Brain. Axial plane.
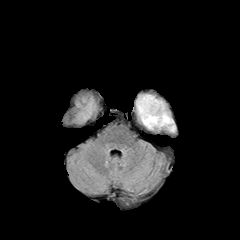
FLAIR MR.
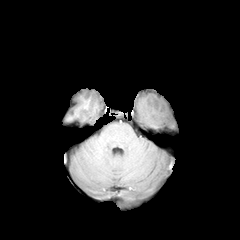
Same slice, T1-weighted magnetic resonance.
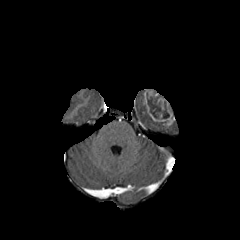
Post-contrast T1-weighted magnetic resonance of the same slice.
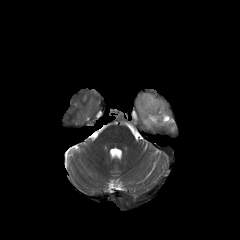
Same slice, T2-weighted MR image.
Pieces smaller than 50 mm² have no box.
{"necrotic_tumor_core": ["bbox=[147, 97, 169, 118]"], "enhancing_tumor": ["bbox=[143, 89, 174, 126]"], "peritumoral_edema": ["bbox=[136, 95, 164, 128]"]}